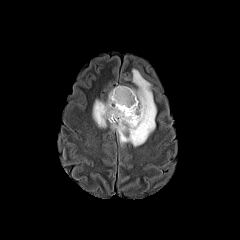
FLAIR MRI.
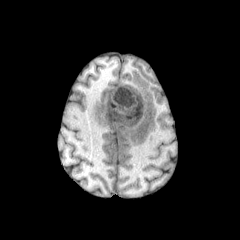
Same slice, T1-weighted MR image.
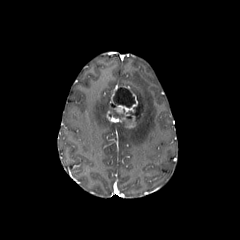
Same slice, post-contrast T1-weighted MRI.
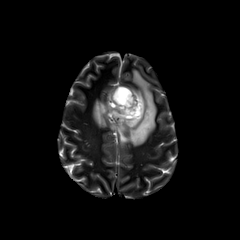
T2-weighted MRI.
Brain | Image size 240x240
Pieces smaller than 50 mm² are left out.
The 2 largest necrotic tumor core regions appear at x1=126 y1=103 x2=138 y2=119, x1=110 y1=87 x2=135 y2=107. 2 peritumoral edema regions are bounded by x1=110 y1=69 x2=156 y2=146, x1=92 y1=93 x2=110 y2=127. The enhancing tumor lies within x1=106 y1=86 x2=138 y2=128.